FLAIR MR image.
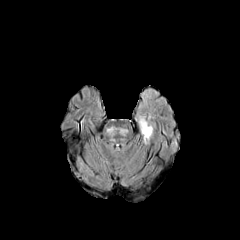
T1-weighted magnetic resonance.
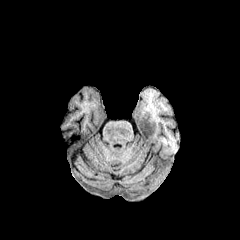
Post-contrast T1-weighted magnetic resonance.
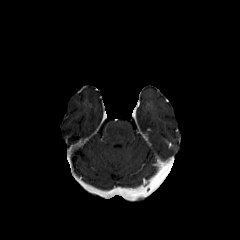
T2-weighted magnetic resonance.
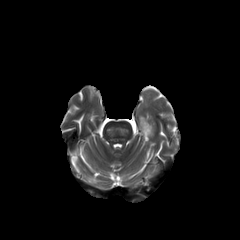
Axial plane; Head
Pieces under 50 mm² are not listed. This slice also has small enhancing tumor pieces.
{
  "peritumoral_edema": [
    "box=[138, 116, 153, 143]"
  ]
}